Axial plane
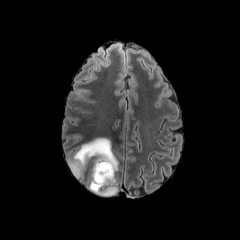
FLAIR MR image.
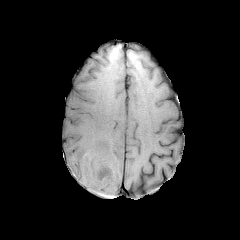
T1-weighted magnetic resonance.
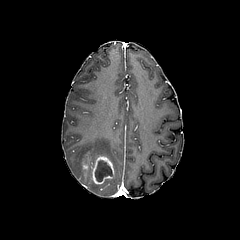
Post-contrast T1-weighted MR image.
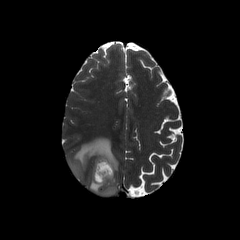
Same slice, T2-weighted MRI.
necrotic tumor core — (95,160,112,181)
enhancing tumor — (81,153,114,184)
peritumoral edema — (68,138,118,196)